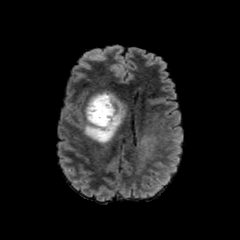
FLAIR MR image.
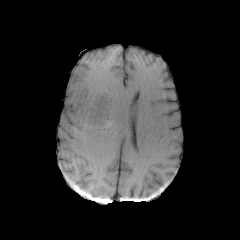
T1-weighted MR.
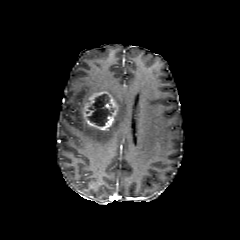
Post-contrast T1-weighted MR of the same slice.
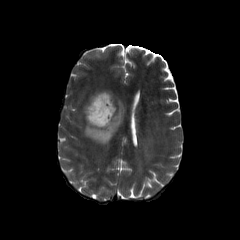
T2-weighted magnetic resonance.
Axial view; Head
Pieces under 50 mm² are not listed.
Annotated regions:
• peritumoral edema: box=[135, 123, 164, 171]; box=[84, 92, 124, 143]
• necrotic tumor core: box=[88, 94, 114, 126]
• enhancing tumor: box=[82, 91, 117, 130]